Head, Image size 240x240
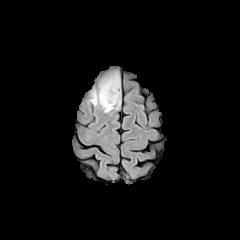
FLAIR MRI.
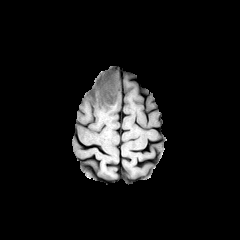
T1-weighted magnetic resonance.
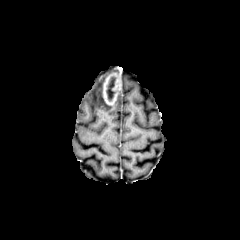
Post-contrast T1-weighted MR image.
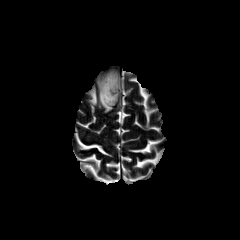
T2-weighted MRI.
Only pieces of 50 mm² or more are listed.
* peritumoral edema: [89,76,120,112]
* enhancing tumor: [103,73,119,104]
* necrotic tumor core: [106,76,117,101]